240x240 px
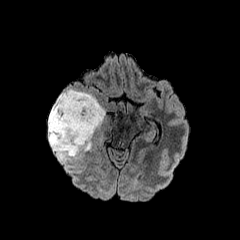
FLAIR MRI.
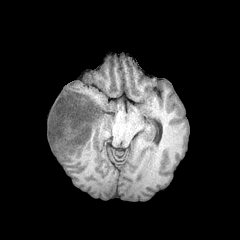
T1-weighted MR image of the same slice.
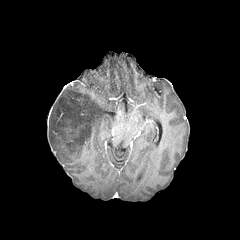
Post-contrast T1-weighted MRI of the same slice.
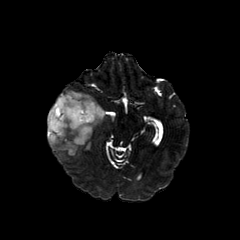
T2-weighted MR image.
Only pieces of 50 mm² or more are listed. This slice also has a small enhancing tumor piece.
peritumoral edema = region(48, 89, 105, 161)